Axial plane. Image width 240 mm, 1.00 mm slice spacing. 240x240 px.
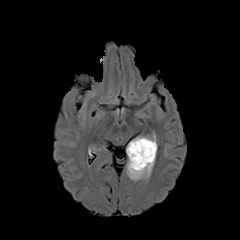
FLAIR MRI.
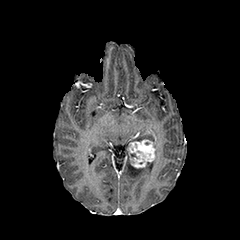
T1-weighted MRI of the same slice.
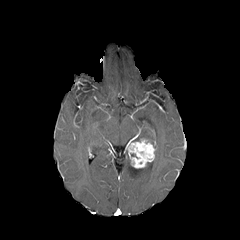
Same slice, post-contrast T1-weighted MR image.
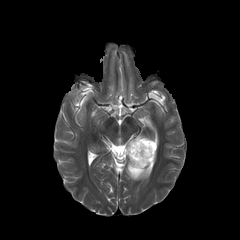
T2-weighted magnetic resonance.
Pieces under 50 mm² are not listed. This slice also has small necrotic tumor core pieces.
peritumoral edema at [x1=133, y1=134, x2=155, y2=140], [x1=126, y1=141, x2=157, y2=180]
enhancing tumor at [x1=127, y1=138, x2=155, y2=168]